FLAIR magnetic resonance.
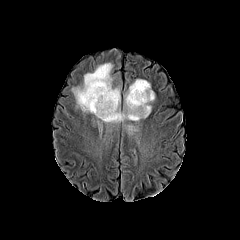
T1-weighted MR.
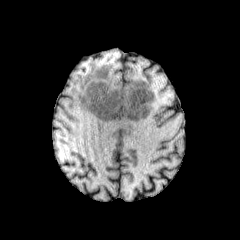
Post-contrast T1-weighted MR.
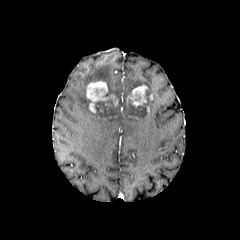
T2-weighted MRI.
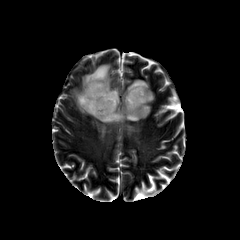
Brain. 240x240 px.
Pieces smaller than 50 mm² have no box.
Annotated regions:
- necrotic tumor core: bbox(95, 90, 147, 118)
- enhancing tumor: bbox(86, 81, 108, 113); bbox(127, 84, 147, 106)
- peritumoral edema: bbox(123, 79, 155, 116); bbox(72, 63, 140, 124); bbox(125, 125, 136, 134)